Brain
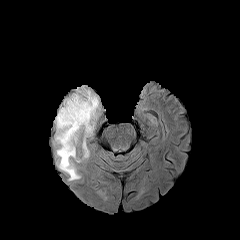
FLAIR MR image.
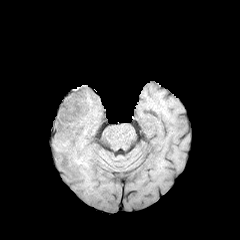
Same slice, T1-weighted MR image.
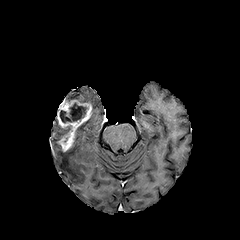
Post-contrast T1-weighted magnetic resonance of the same slice.
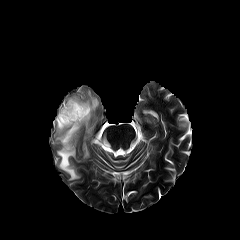
T2-weighted MRI of the same slice.
{
  "necrotic_tumor_core": [
    "<bbox>60, 103, 86, 122</bbox>"
  ],
  "peritumoral_edema": [
    "<bbox>56, 89, 99, 180</bbox>",
    "<bbox>54, 119, 70, 144</bbox>"
  ],
  "enhancing_tumor": [
    "<bbox>56, 96, 92, 151</bbox>"
  ]
}